Slice index 84.
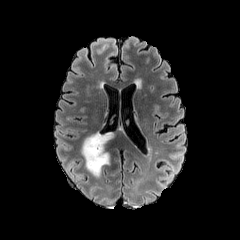
FLAIR MR image.
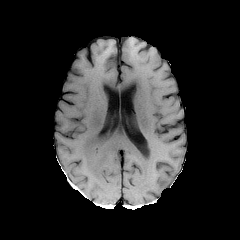
T1-weighted MR of the same slice.
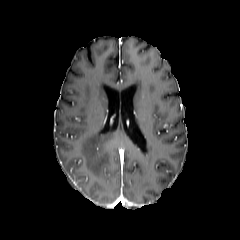
Post-contrast T1-weighted magnetic resonance of the same slice.
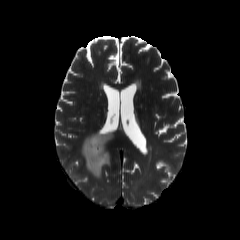
Same slice, T2-weighted MR image.
Findings:
- peritumoral edema: left=81, top=132, right=114, bottom=177